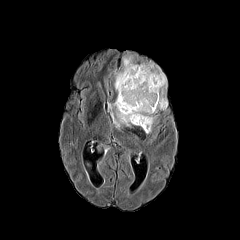
FLAIR MRI.
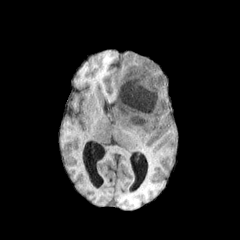
T1-weighted MR image.
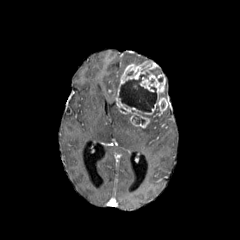
Post-contrast T1-weighted magnetic resonance.
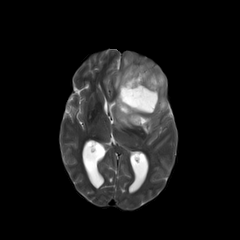
T2-weighted magnetic resonance.
Axial plane | 240x240 px | Head
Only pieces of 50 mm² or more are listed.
Segmented structures:
• necrotic tumor core: (119,72,156,112), (150,68,161,76), (135,115,145,124)
• enhancing tumor: (116,61,167,127)
• peritumoral edema: (108,102,131,128), (114,56,132,90), (143,115,155,133)